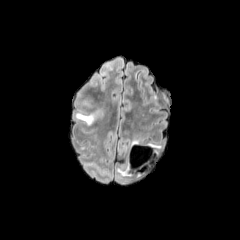
FLAIR magnetic resonance.
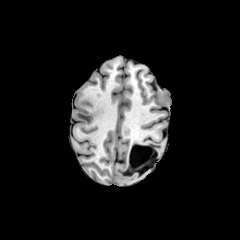
T1-weighted MR image of the same slice.
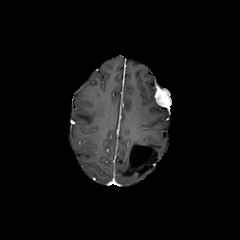
Same slice, post-contrast T1-weighted MR.
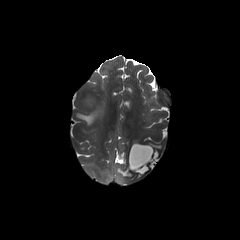
Same slice, T2-weighted MRI.
240x240 px, Brain
peritumoral edema: (x1=75, y1=111, x2=98, y2=125)